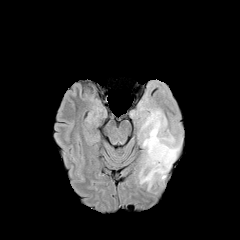
FLAIR MR.
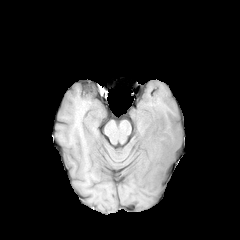
T1-weighted MR image of the same slice.
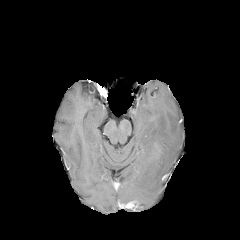
Same slice, post-contrast T1-weighted magnetic resonance.
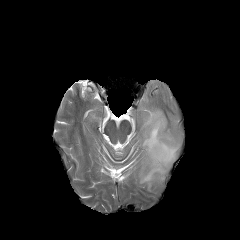
T2-weighted MR image of the same slice.
Axial slice; Brain
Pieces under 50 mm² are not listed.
peritumoral edema: bounding box rect(139, 108, 181, 190)